Image width 240 mm
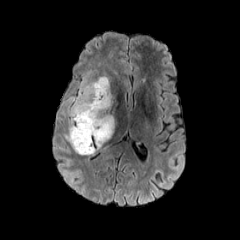
FLAIR MR image.
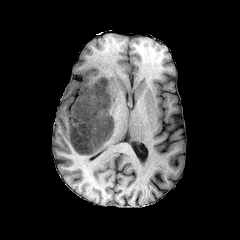
Same slice, T1-weighted MR.
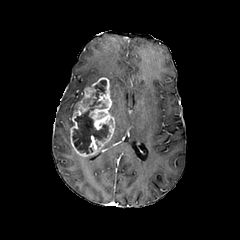
Same slice, post-contrast T1-weighted MR image.
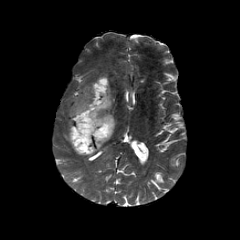
Same slice, T2-weighted MR image.
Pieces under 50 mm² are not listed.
enhancing tumor — region(70, 77, 115, 156)
peritumoral edema — region(61, 74, 110, 142)
necrotic tumor core — region(72, 79, 109, 153)